Slice index 48.
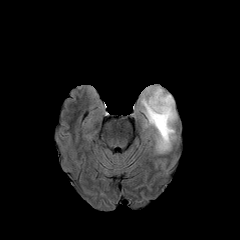
FLAIR magnetic resonance.
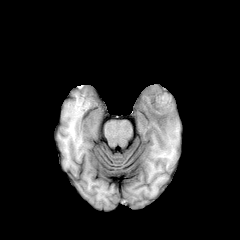
T1-weighted magnetic resonance.
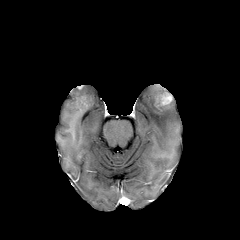
Same slice, post-contrast T1-weighted MR.
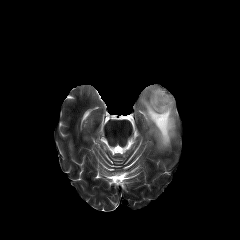
T2-weighted magnetic resonance of the same slice.
<segmentation>
  <peritumoral_edema>bbox(140, 85, 177, 152)</peritumoral_edema>
  <enhancing_tumor>bbox(156, 93, 172, 105)</enhancing_tumor>
</segmentation>